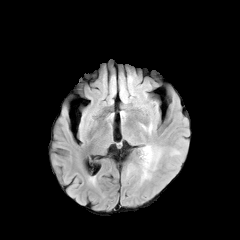
FLAIR MR.
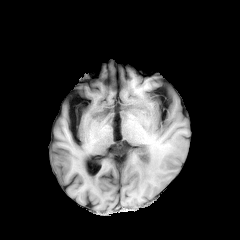
T1-weighted MRI.
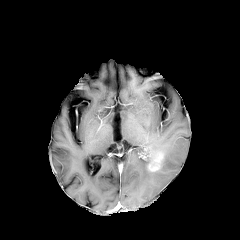
Post-contrast T1-weighted MR image.
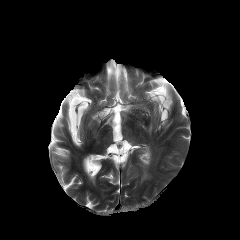
Same slice, T2-weighted MRI.
Head | 240x240 px
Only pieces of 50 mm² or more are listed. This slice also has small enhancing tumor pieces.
peritumoral edema — 142,146,152,167